FLAIR MR.
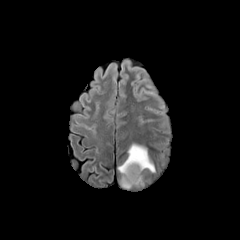
T1-weighted MR image.
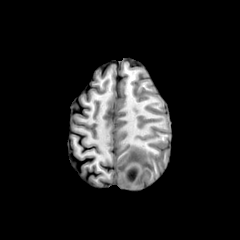
Post-contrast T1-weighted MRI.
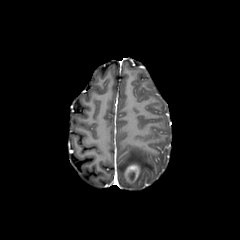
T2-weighted MR.
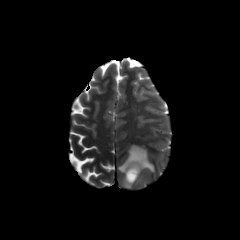
240x240 px; Axial view
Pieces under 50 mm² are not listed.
The enhancing tumor lies within <bbox>125, 165, 139, 183</bbox>. The largest necrotic tumor core region is located at <bbox>128, 171, 135, 181</bbox>. The peritumoral edema is located at <bbox>118, 144, 155, 188</bbox>.